FLAIR MRI.
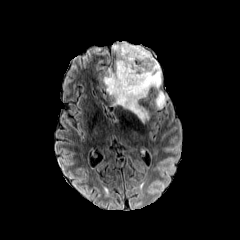
T1-weighted MRI.
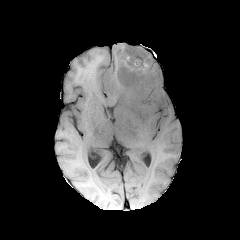
Post-contrast T1-weighted magnetic resonance.
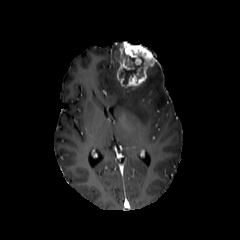
T2-weighted MRI.
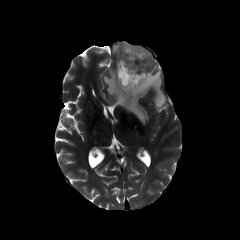
Brain, 240x240
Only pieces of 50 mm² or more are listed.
The enhancing tumor is bounded by rect(116, 41, 157, 89). The largest necrotic tumor core region appears at rect(119, 56, 144, 83). The peritumoral edema is bounded by rect(104, 41, 166, 122).